Image size 240x240 | Slice 125/155 | Head | Axial view
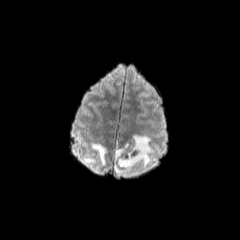
FLAIR MRI.
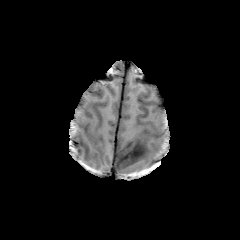
T1-weighted magnetic resonance of the same slice.
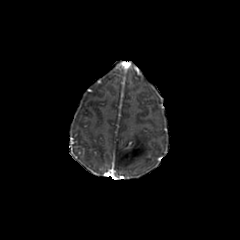
Post-contrast T1-weighted MR.
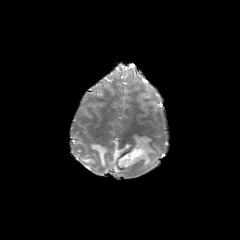
T2-weighted MR image of the same slice.
peritumoral edema = bbox(81, 156, 96, 164); bbox(114, 134, 153, 175); bbox(91, 142, 106, 165)